Image width 240 mm. Head.
FLAIR magnetic resonance.
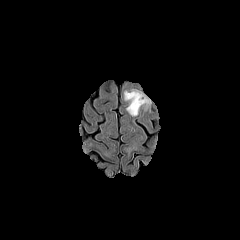
T1-weighted MRI.
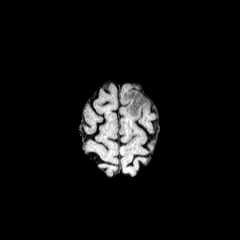
Post-contrast T1-weighted MR image.
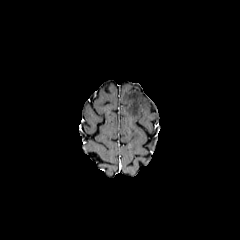
T2-weighted MRI.
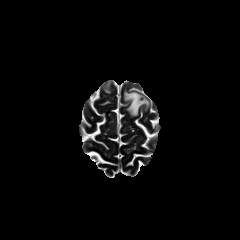
peritumoral edema: left=124, top=89, right=150, bottom=116